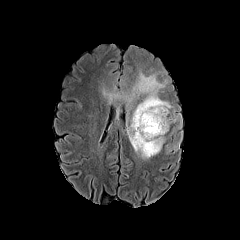
FLAIR MR image.
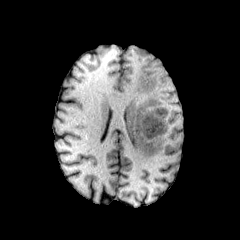
T1-weighted MR of the same slice.
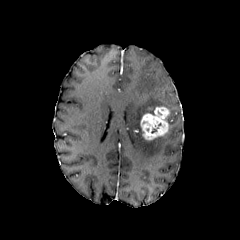
Same slice, post-contrast T1-weighted MR image.
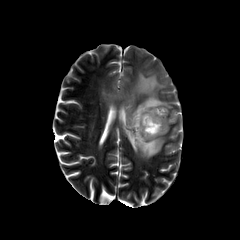
T2-weighted MR image of the same slice.
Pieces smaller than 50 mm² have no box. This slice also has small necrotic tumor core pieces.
enhancing tumor = bbox=[140, 106, 169, 140]
peritumoral edema = bbox=[127, 72, 171, 158]